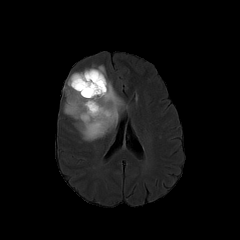
FLAIR MRI.
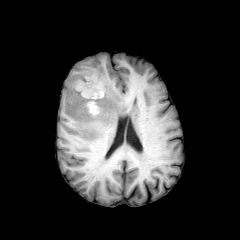
T1-weighted MR.
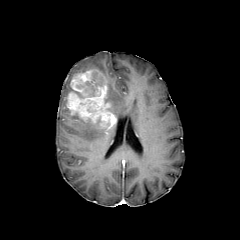
Post-contrast T1-weighted magnetic resonance of the same slice.
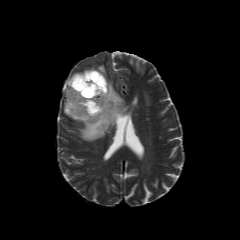
Same slice, T2-weighted MR image.
Axial plane | Brain | Image size 240x240
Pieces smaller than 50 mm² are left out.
Segmented structures:
- necrotic tumor core: {"x1": 75, "y1": 71, "x2": 103, "y2": 98}
- peritumoral edema: {"x1": 63, "y1": 65, "x2": 127, "y2": 141}
- enhancing tumor: {"x1": 66, "y1": 69, "x2": 116, "y2": 128}